Head
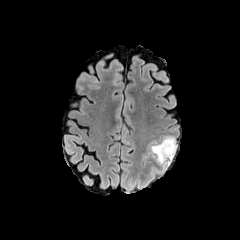
FLAIR magnetic resonance.
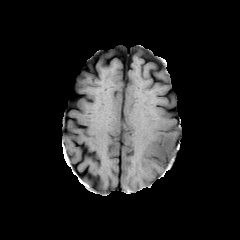
T1-weighted MRI of the same slice.
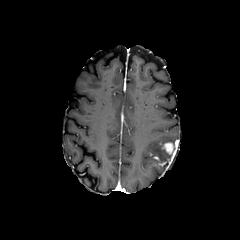
Post-contrast T1-weighted magnetic resonance.
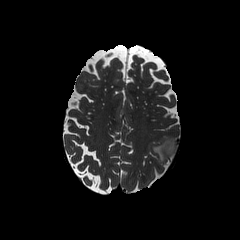
T2-weighted MR of the same slice.
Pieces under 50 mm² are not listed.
The largest peritumoral edema region is at box(150, 136, 175, 163). The enhancing tumor is at box(161, 142, 176, 165).